Slice 60/155
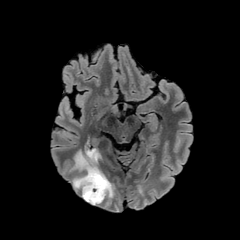
FLAIR MR image.
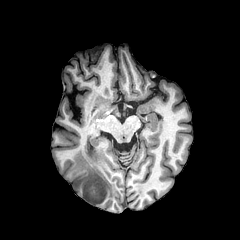
T1-weighted MRI of the same slice.
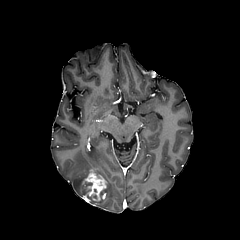
Post-contrast T1-weighted magnetic resonance.
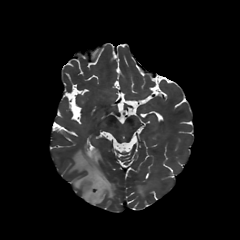
T2-weighted MR image of the same slice.
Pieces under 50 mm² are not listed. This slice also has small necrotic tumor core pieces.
peritumoral_edema:
  - (69, 147, 115, 205)
enhancing_tumor:
  - (82, 169, 106, 205)